FLAIR MR image.
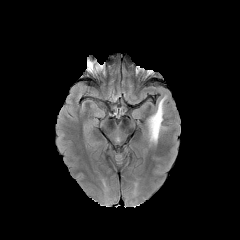
T1-weighted MR.
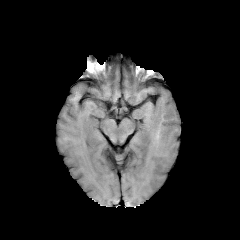
Post-contrast T1-weighted MR.
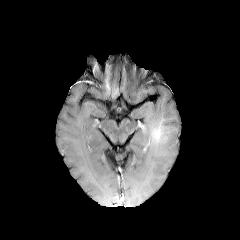
T2-weighted magnetic resonance.
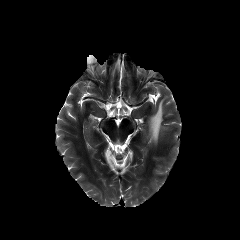
Head, 240x240 px
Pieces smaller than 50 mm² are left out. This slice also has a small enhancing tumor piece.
peritumoral edema = (left=147, top=97, right=167, bottom=144)